FLAIR MR.
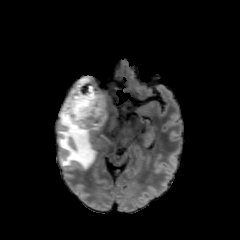
T1-weighted MR.
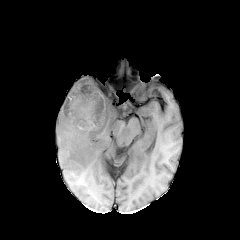
Post-contrast T1-weighted MR.
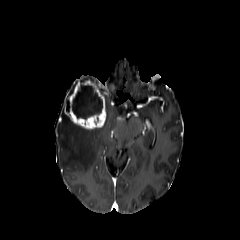
T2-weighted MR image.
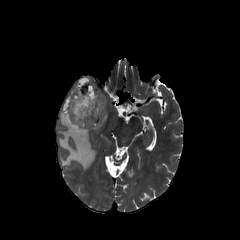
Axial slice; Image size 240x240; Brain
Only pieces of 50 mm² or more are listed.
The largest necrotic tumor core region is at rect(72, 84, 102, 118). The enhancing tumor appears at rect(64, 78, 106, 129). The largest peritumoral edema region is located at rect(58, 85, 118, 169).